FLAIR MR.
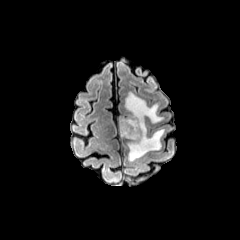
T1-weighted MRI.
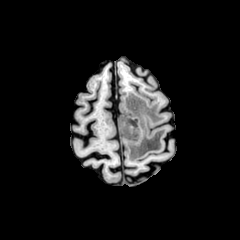
Post-contrast T1-weighted MRI.
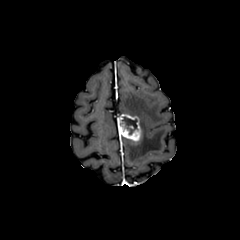
T2-weighted magnetic resonance.
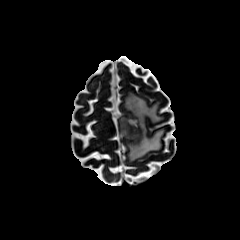
Brain | 240x240 px
The necrotic tumor core is at bbox=[122, 117, 137, 134]. The enhancing tumor is at bbox=[117, 113, 141, 143]. The peritumoral edema is bounded by bbox=[124, 92, 164, 161].